FLAIR MR image.
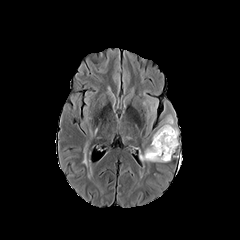
T1-weighted MR.
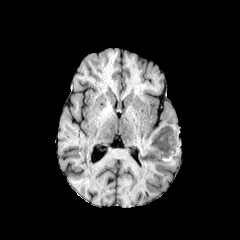
Post-contrast T1-weighted MR.
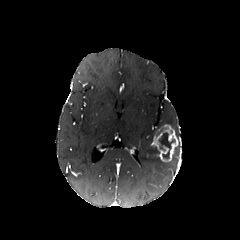
T2-weighted magnetic resonance.
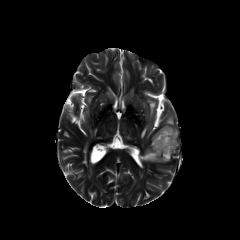
Axial slice | Head
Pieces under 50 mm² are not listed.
Findings:
* necrotic tumor core: bbox=[159, 130, 174, 149]
* enhancing tumor: bbox=[151, 124, 178, 161]
* peritumoral edema: bbox=[163, 116, 178, 136]; bbox=[140, 146, 162, 162]